Slice index 70. Axial view.
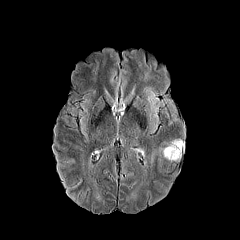
FLAIR MRI.
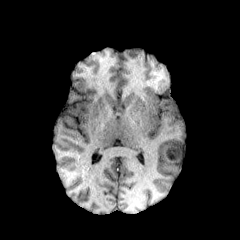
Same slice, T1-weighted MR.
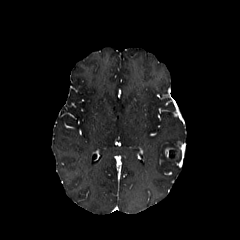
Post-contrast T1-weighted magnetic resonance.
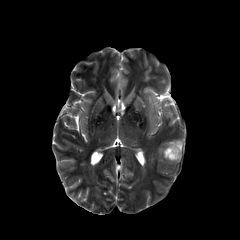
Same slice, T2-weighted MRI.
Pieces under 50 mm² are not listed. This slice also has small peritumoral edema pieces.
enhancing tumor = bbox(164, 147, 175, 158); bbox(174, 141, 181, 159)
necrotic tumor core = bbox(169, 145, 177, 158)